Brain | Slice 87 of 155
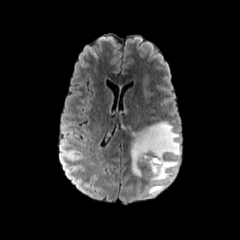
FLAIR magnetic resonance.
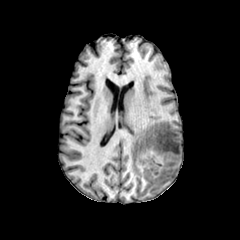
T1-weighted MR image.
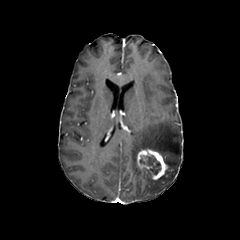
Same slice, post-contrast T1-weighted magnetic resonance.
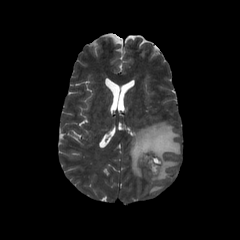
T2-weighted MRI of the same slice.
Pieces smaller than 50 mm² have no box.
peritumoral edema at x1=128 y1=121 x2=180 y2=196
necrotic tumor core at x1=140 y1=155 x2=160 y2=175
enhancing tumor at x1=136 y1=148 x2=168 y2=180